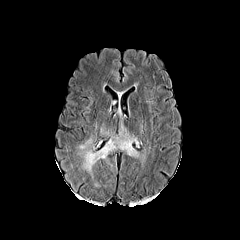
FLAIR MR image.
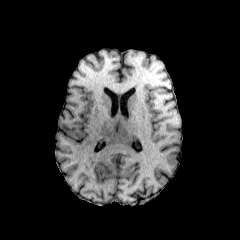
T1-weighted MRI of the same slice.
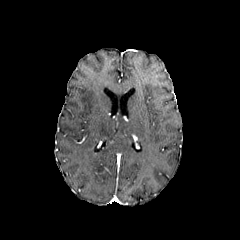
Post-contrast T1-weighted MRI.
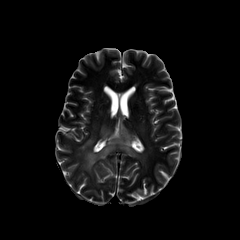
T2-weighted magnetic resonance.
240x240.
peritumoral edema at (left=79, top=126, right=138, bottom=171)